FLAIR MR image.
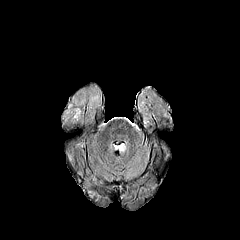
T1-weighted MR.
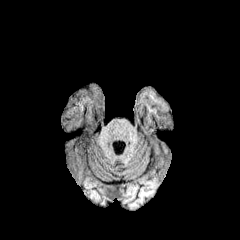
Post-contrast T1-weighted MR.
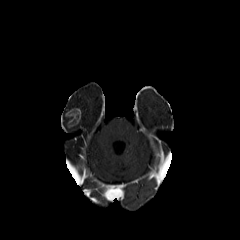
T2-weighted magnetic resonance.
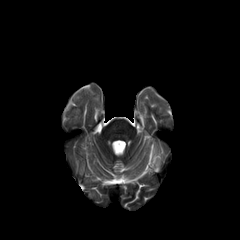
240x240.
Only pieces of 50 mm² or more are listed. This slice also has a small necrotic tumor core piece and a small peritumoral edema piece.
<segmentation>
  <enhancing_tumor>rect(66, 108, 80, 127)</enhancing_tumor>
</segmentation>